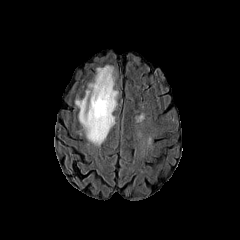
FLAIR magnetic resonance.
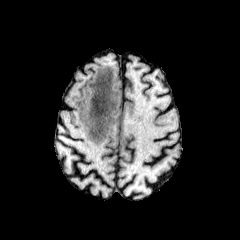
T1-weighted MR image of the same slice.
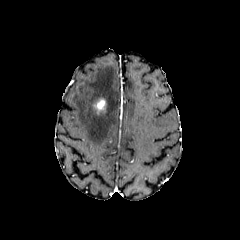
Post-contrast T1-weighted MRI.
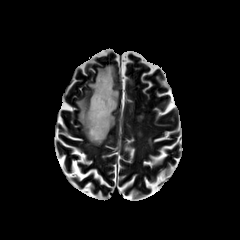
Same slice, T2-weighted MR image.
Brain
enhancing_tumor:
  - bbox(93, 98, 106, 113)
peritumoral_edema:
  - bbox(75, 65, 118, 145)